FLAIR magnetic resonance.
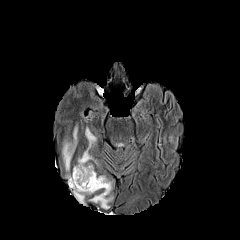
T1-weighted MR.
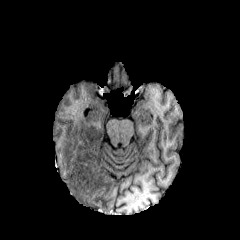
Post-contrast T1-weighted magnetic resonance.
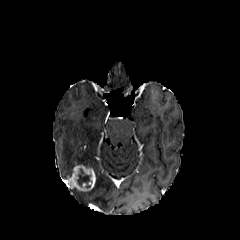
T2-weighted magnetic resonance.
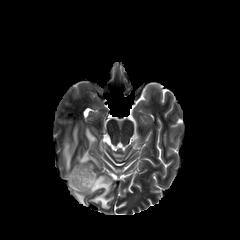
Axial slice
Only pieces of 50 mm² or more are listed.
enhancing tumor: region(67, 165, 95, 191)
peritumoral edema: region(62, 126, 77, 171); region(71, 175, 113, 208); region(78, 127, 96, 165)
necrotic tumor core: region(77, 169, 90, 187)